Slice index 50.
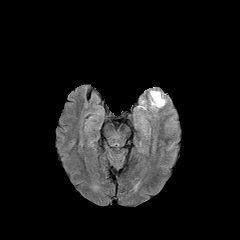
FLAIR MRI.
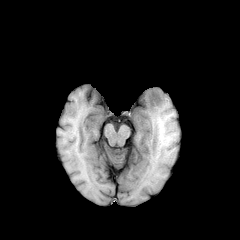
T1-weighted MR image.
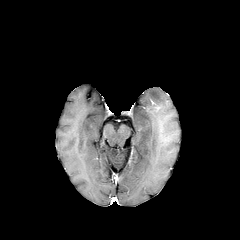
Post-contrast T1-weighted MRI of the same slice.
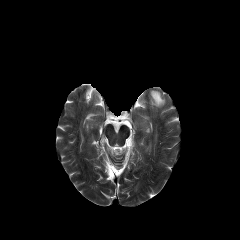
T2-weighted magnetic resonance.
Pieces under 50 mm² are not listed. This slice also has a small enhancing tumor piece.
peritumoral_edema:
  - <bbox>149, 90, 165, 109</bbox>